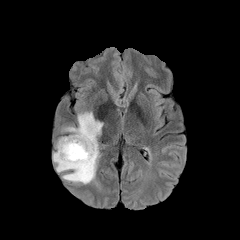
FLAIR magnetic resonance.
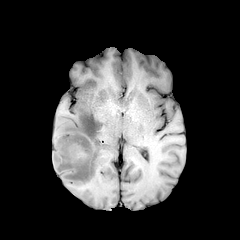
T1-weighted MR.
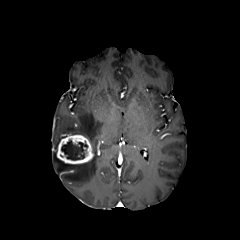
Post-contrast T1-weighted MR.
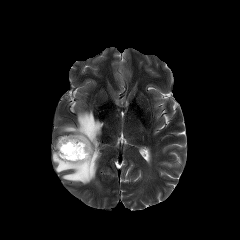
T2-weighted magnetic resonance of the same slice.
Brain
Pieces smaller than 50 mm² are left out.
necrotic tumor core at (x1=61, y1=140, x2=87, y2=160)
peritumoral edema at (x1=53, y1=111, x2=103, y2=184)
enhancing tumor at (x1=56, y1=134, x2=94, y2=164)